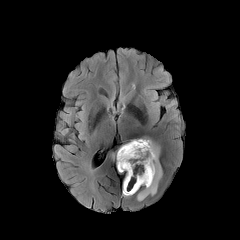
FLAIR MR.
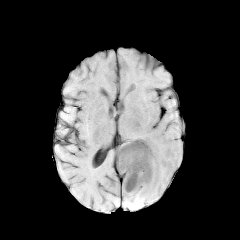
T1-weighted MR image.
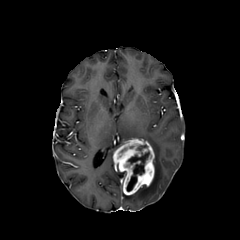
Same slice, post-contrast T1-weighted MR.
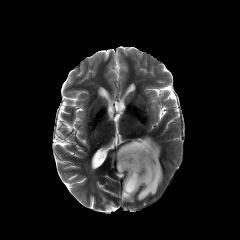
Same slice, T2-weighted magnetic resonance.
Axial plane. 240x240.
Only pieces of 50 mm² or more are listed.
{
  "peritumoral_edema": [
    "l=137, t=138, r=162, b=200"
  ],
  "enhancing_tumor": [
    "l=113, t=139, r=154, b=195"
  ],
  "necrotic_tumor_core": [
    "l=126, t=151, r=149, b=191"
  ]
}